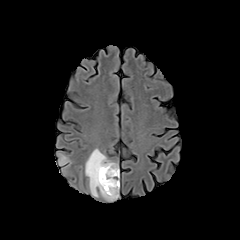
FLAIR MRI.
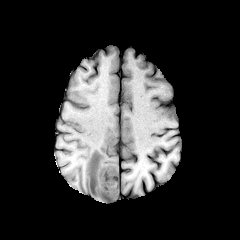
Same slice, T1-weighted MR.
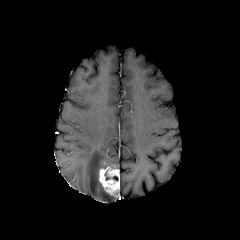
Post-contrast T1-weighted MR image.
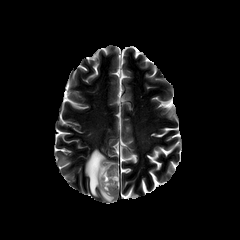
T2-weighted MRI of the same slice.
Brain; 240x240
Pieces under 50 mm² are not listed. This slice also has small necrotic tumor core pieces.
enhancing tumor: x1=99, y1=165, x2=117, y2=197 | peritumoral edema: x1=59, y1=155, x2=69, y2=165; x1=85, y1=149, x2=117, y2=200